Head; 240x240 px; Axial plane
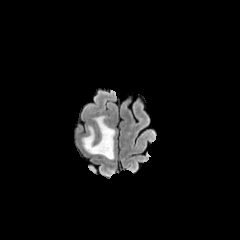
FLAIR MR.
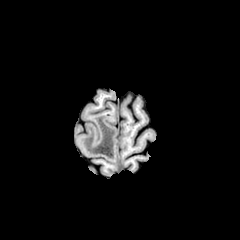
T1-weighted MRI of the same slice.
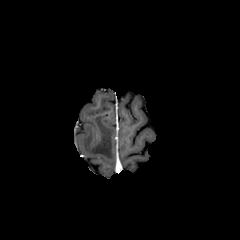
Post-contrast T1-weighted MR image of the same slice.
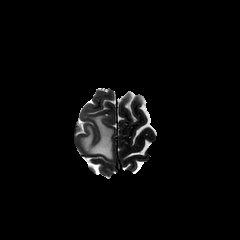
T2-weighted MRI.
The peritumoral edema is located at x1=81 y1=116 x2=114 y2=159.